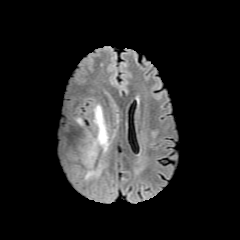
FLAIR MR.
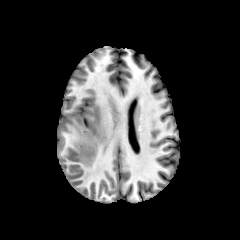
T1-weighted MR.
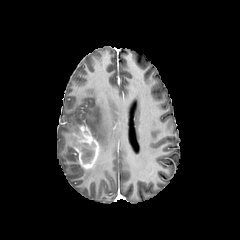
Post-contrast T1-weighted magnetic resonance of the same slice.
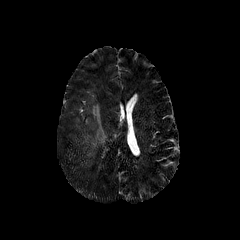
T2-weighted MRI of the same slice.
Brain, Axial view
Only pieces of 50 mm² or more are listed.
necrotic tumor core = bbox(81, 144, 94, 163)
peritumoral edema = bbox(85, 104, 115, 179)
enhancing tumor = bbox(69, 126, 99, 168)